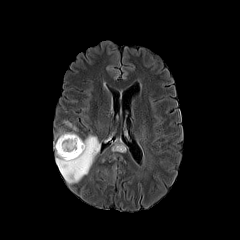
FLAIR magnetic resonance.
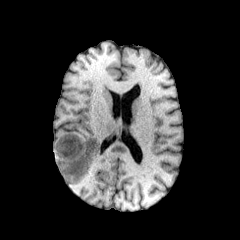
Same slice, T1-weighted MR.
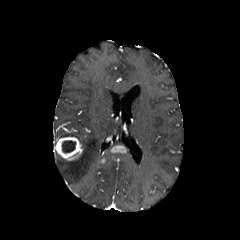
Post-contrast T1-weighted magnetic resonance.
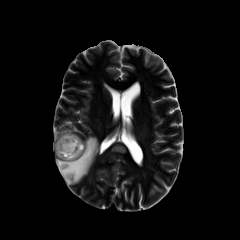
T2-weighted magnetic resonance.
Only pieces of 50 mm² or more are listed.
peritumoral_edema:
  - 56,133,100,183
necrotic_tumor_core:
  - 62,140,76,152
enhancing_tumor:
  - 54,136,83,160
  - 112,146,125,152